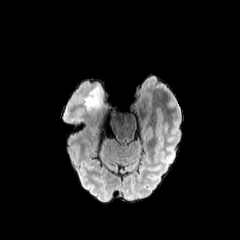
FLAIR magnetic resonance.
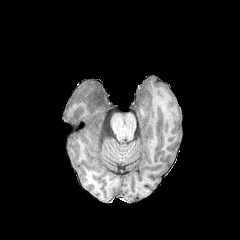
T1-weighted magnetic resonance.
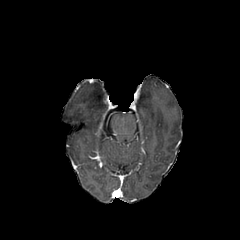
Post-contrast T1-weighted MR.
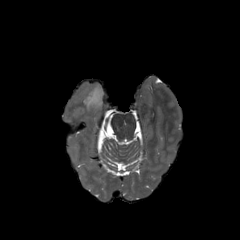
T2-weighted MR image.
240x240. Brain.
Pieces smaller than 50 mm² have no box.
peritumoral edema — x1=83 y1=84 x2=110 y2=111